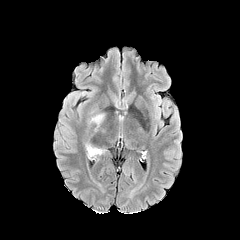
FLAIR MRI.
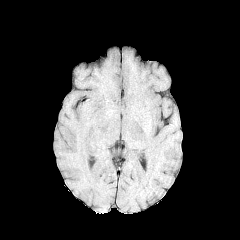
T1-weighted MRI of the same slice.
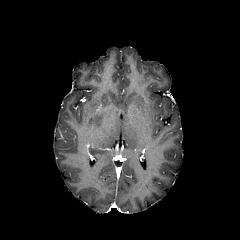
Post-contrast T1-weighted MR.
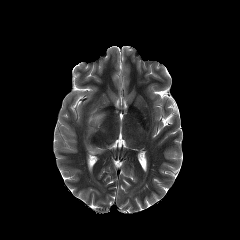
T2-weighted MR image.
Axial plane; Image size 240x240
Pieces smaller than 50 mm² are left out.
peritumoral edema: (88,113,104,127), (85,144,104,157)